Axial view, Brain, Image covers 240 mm x 240 mm, Image size 240x240
FLAIR magnetic resonance.
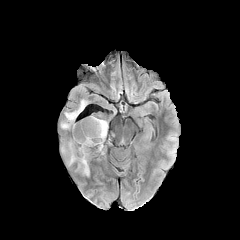
T1-weighted MR image.
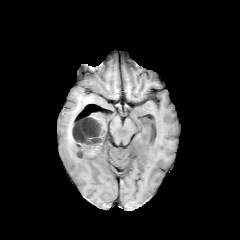
Post-contrast T1-weighted magnetic resonance.
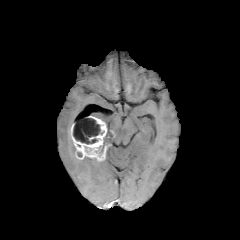
T2-weighted MRI.
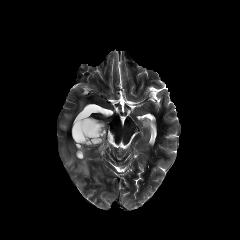
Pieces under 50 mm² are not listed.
enhancing_tumor:
  - bbox=[71, 116, 115, 161]
necrotic_tumor_core:
  - bbox=[104, 133, 111, 141]
  - bbox=[73, 118, 103, 144]
peritumoral_edema:
  - bbox=[60, 100, 85, 132]
  - bbox=[67, 142, 90, 176]